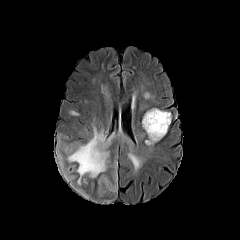
FLAIR MRI.
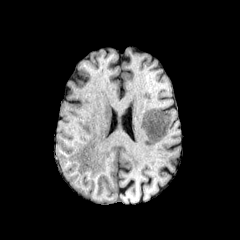
Same slice, T1-weighted MR image.
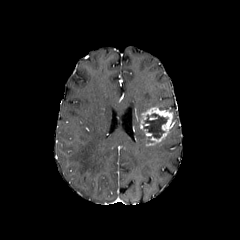
Post-contrast T1-weighted magnetic resonance.
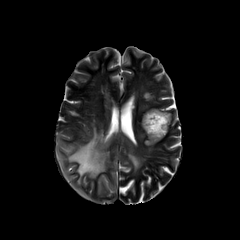
T2-weighted magnetic resonance of the same slice.
Axial slice
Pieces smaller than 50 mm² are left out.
{"peritumoral_edema": ["(56,126,141,193)", "(100,175,116,195)"], "necrotic_tumor_core": ["(144,113,167,138)"], "enhancing_tumor": ["(140,107,172,145)"]}